FLAIR MR image.
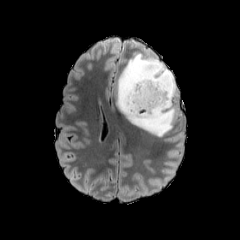
T1-weighted MR image.
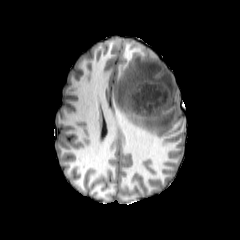
Post-contrast T1-weighted MRI.
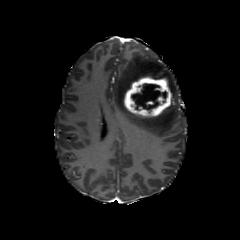
T2-weighted MRI.
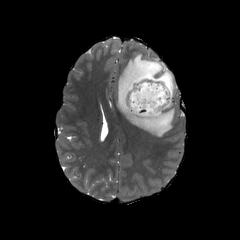
Brain
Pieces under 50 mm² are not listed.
The largest enhancing tumor region is at 123, 75, 174, 117. The necrotic tumor core lies within 131, 83, 167, 110. The peritumoral edema is at 115, 52, 177, 136.